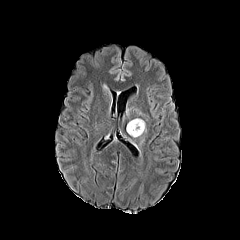
FLAIR MR image.
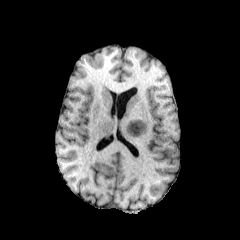
Same slice, T1-weighted magnetic resonance.
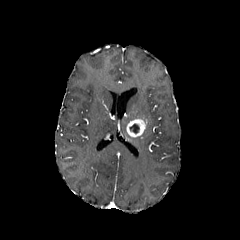
Same slice, post-contrast T1-weighted MR image.
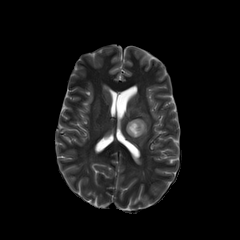
T2-weighted MR.
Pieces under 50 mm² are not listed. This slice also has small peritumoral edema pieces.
<segmentation>
  <necrotic_tumor_core>(130,124,139,133)</necrotic_tumor_core>
  <enhancing_tumor>(126,119,146,137)</enhancing_tumor>
</segmentation>